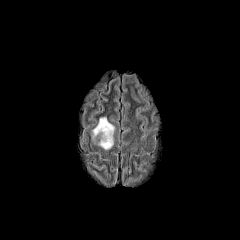
FLAIR MR image.
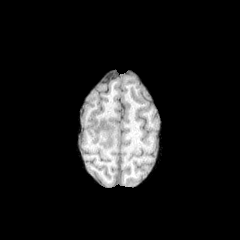
T1-weighted MRI.
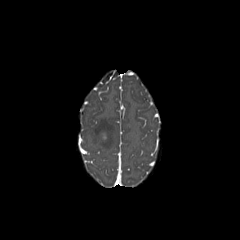
Post-contrast T1-weighted MR image of the same slice.
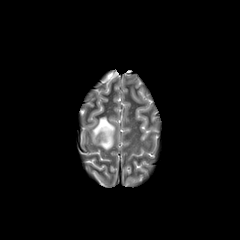
Same slice, T2-weighted MR.
Axial plane
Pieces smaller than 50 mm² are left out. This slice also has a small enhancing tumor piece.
The peritumoral edema appears at box(92, 117, 114, 149).